240x240 px | Slice 107 of 155 | Image covers 240 mm x 240 mm
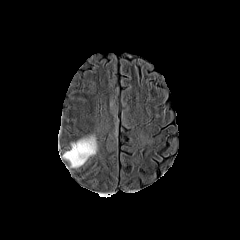
FLAIR magnetic resonance.
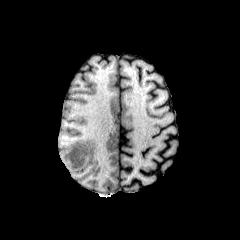
T1-weighted MRI.
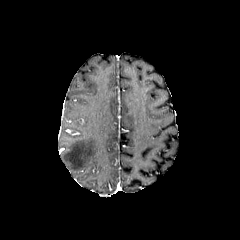
Same slice, post-contrast T1-weighted MR.
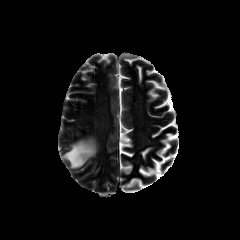
T2-weighted MR image of the same slice.
Annotated regions:
* peritumoral edema: box=[63, 134, 96, 167]